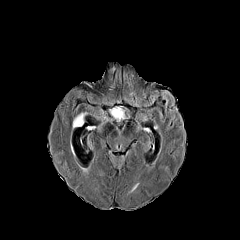
FLAIR magnetic resonance.
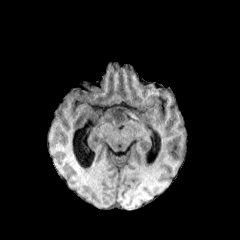
T1-weighted MR image.
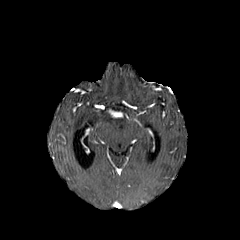
Post-contrast T1-weighted MRI of the same slice.
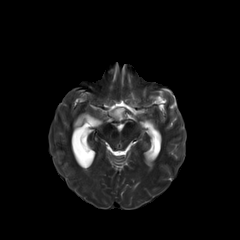
Same slice, T2-weighted magnetic resonance.
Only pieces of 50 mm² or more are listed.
The enhancing tumor appears at x1=109, y1=109, x2=123, y2=117. The largest peritumoral edema region is bounded by x1=73, y1=112, x2=87, y2=127.